FLAIR MRI.
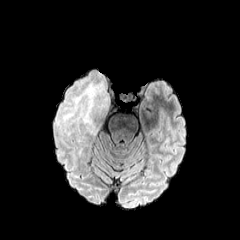
T1-weighted MRI.
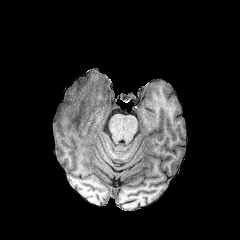
Post-contrast T1-weighted MR image.
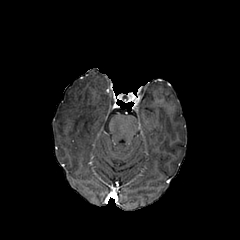
T2-weighted MR image.
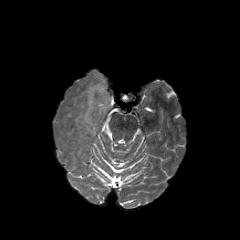
Axial slice
<segmentation>
  <peritumoral_edema><bbox>56, 70, 110, 134</bbox></peritumoral_edema>
</segmentation>